Slice 95/155; Axial plane; Head
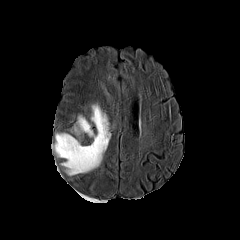
FLAIR MR image.
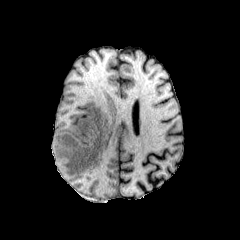
T1-weighted MR image of the same slice.
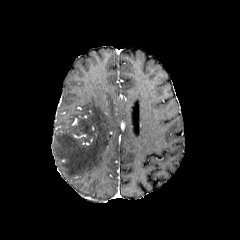
Post-contrast T1-weighted magnetic resonance of the same slice.
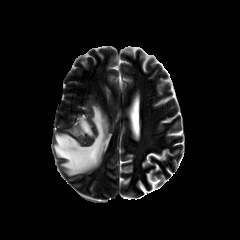
Same slice, T2-weighted MR image.
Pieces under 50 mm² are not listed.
The largest peritumoral edema region is located at <box>52,105,110,175</box>.